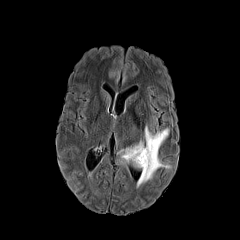
FLAIR MRI.
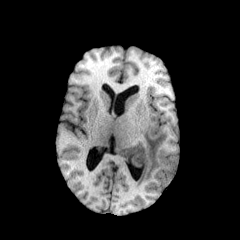
Same slice, T1-weighted MRI.
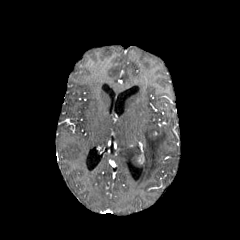
Post-contrast T1-weighted MRI.
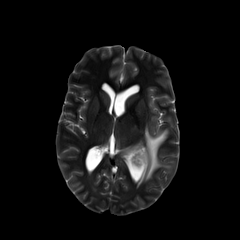
T2-weighted MRI.
Head
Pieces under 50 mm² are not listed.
peritumoral edema = l=121, t=126, r=170, b=186
enhancing tumor = l=138, t=152, r=144, b=163